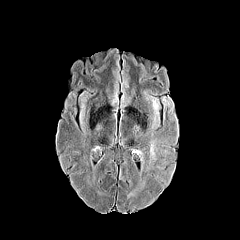
FLAIR magnetic resonance.
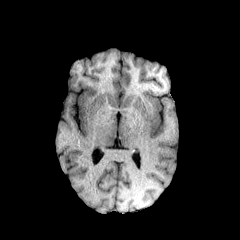
T1-weighted MRI.
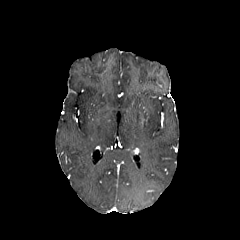
Post-contrast T1-weighted MR.
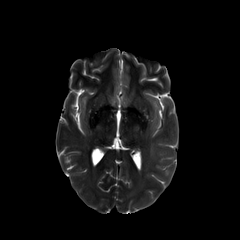
Same slice, T2-weighted MR image.
Head
peritumoral edema = (x1=151, y1=140, x2=160, y2=160)